Axial plane
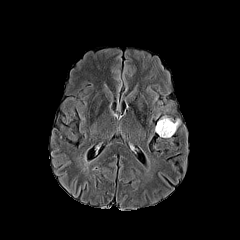
FLAIR MR.
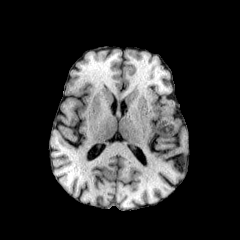
T1-weighted MR image of the same slice.
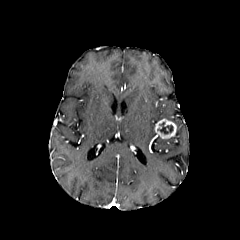
Post-contrast T1-weighted MR image of the same slice.
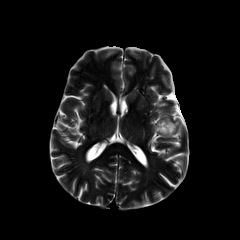
Same slice, T2-weighted MRI.
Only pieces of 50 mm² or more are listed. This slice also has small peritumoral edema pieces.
{"necrotic_tumor_core": ["box(157, 122, 173, 134)"], "enhancing_tumor": ["box(154, 118, 176, 138)"]}